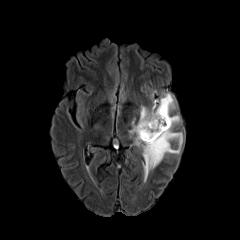
FLAIR MR image.
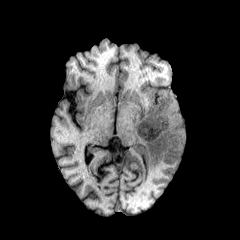
Same slice, T1-weighted magnetic resonance.
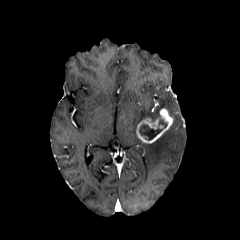
Post-contrast T1-weighted MR.
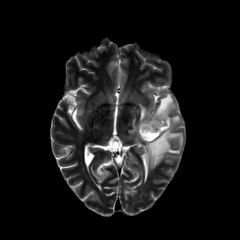
T2-weighted MRI of the same slice.
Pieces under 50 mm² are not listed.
peritumoral edema: left=138, top=93, right=175, bottom=123; left=129, top=115, right=183, bottom=182 | enhancing tumor: left=136, top=108, right=173, bottom=143 | necrotic tumor core: left=139, top=124, right=162, bottom=140